Slice 111/155, Axial slice, Head
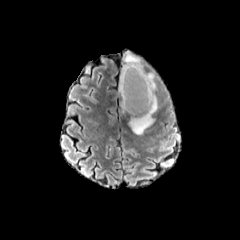
FLAIR MR.
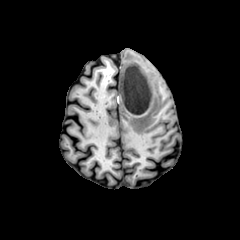
T1-weighted MR of the same slice.
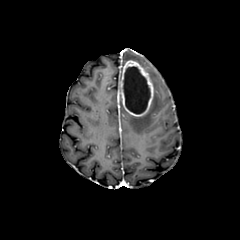
Post-contrast T1-weighted MR.
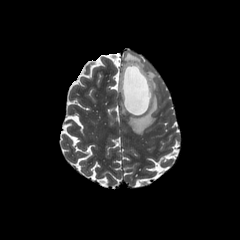
T2-weighted MR.
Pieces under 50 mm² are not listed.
The enhancing tumor is bounded by [120, 60, 153, 116]. The 2 largest peritumoral edema regions appear at [129, 72, 157, 134], [123, 51, 143, 67]. The necrotic tumor core lies within [123, 66, 150, 113].